FLAIR MR.
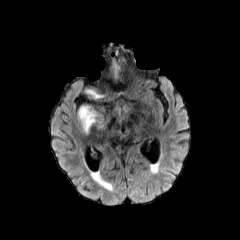
T1-weighted magnetic resonance.
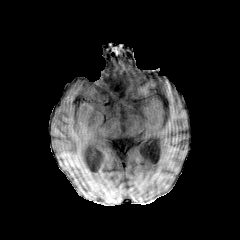
Post-contrast T1-weighted MR.
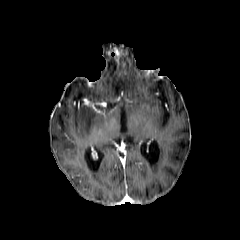
T2-weighted MR image.
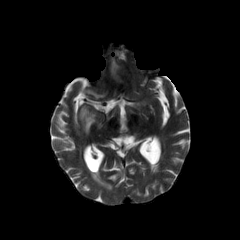
Axial view. Brain.
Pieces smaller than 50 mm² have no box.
{
  "peritumoral_edema": [
    "rect(78, 106, 95, 132)"
  ]
}